FLAIR magnetic resonance.
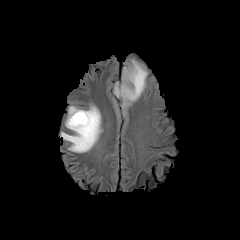
T1-weighted MRI.
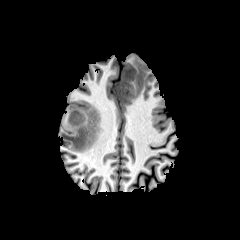
Post-contrast T1-weighted MR image.
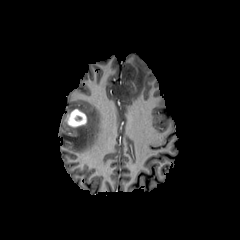
T2-weighted MR image.
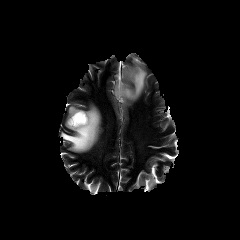
240x240; Head; Axial view
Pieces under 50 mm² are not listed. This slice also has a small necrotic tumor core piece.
2 peritumoral edema regions are located at bbox=[113, 59, 147, 109]; bbox=[60, 104, 102, 152]. The enhancing tumor lies within bbox=[67, 109, 86, 127].